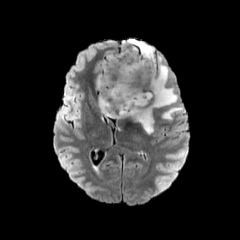
FLAIR MR image.
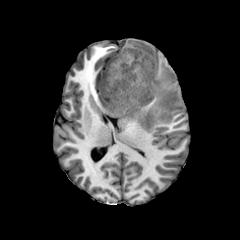
Same slice, T1-weighted MR.
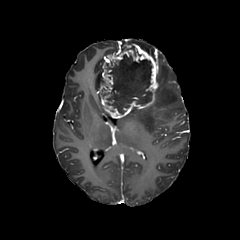
Same slice, post-contrast T1-weighted MRI.
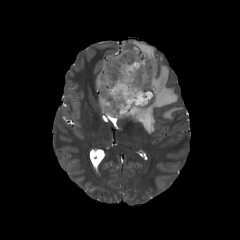
T2-weighted MRI.
Head
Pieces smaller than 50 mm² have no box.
peritumoral edema — 96, 73, 101, 89; 127, 56, 178, 133; 162, 107, 182, 119; 99, 93, 108, 114; 123, 39, 155, 59
enhancing tumor — 98, 44, 158, 118
necrotic tumor core — 106, 54, 152, 114